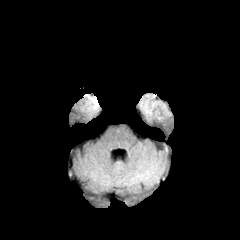
FLAIR MR image.
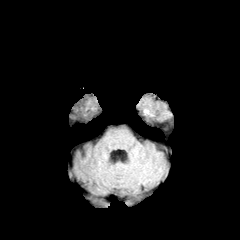
T1-weighted magnetic resonance.
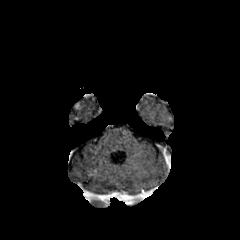
Post-contrast T1-weighted magnetic resonance.
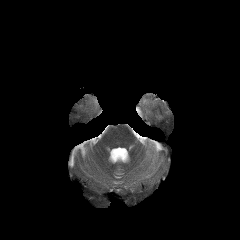
T2-weighted MRI of the same slice.
Axial view
peritumoral edema at [x1=89, y1=98, x2=98, y2=110]